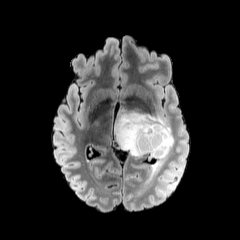
FLAIR MR image.
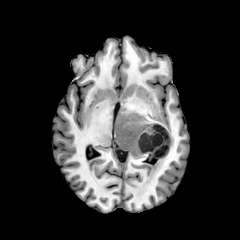
Same slice, T1-weighted MRI.
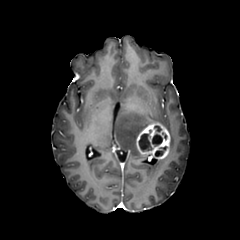
Same slice, post-contrast T1-weighted MR.
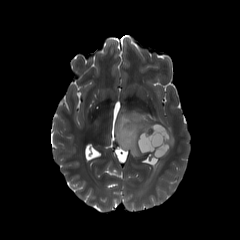
T2-weighted MR of the same slice.
Axial plane.
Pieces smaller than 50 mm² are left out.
Annotated regions:
• peritumoral edema: bbox=[115, 111, 174, 156]; bbox=[148, 154, 168, 181]
• necrotic tumor core: bbox=[152, 133, 162, 146]; bbox=[155, 146, 166, 156]; bbox=[139, 129, 152, 151]
• enhancing tumor: bbox=[136, 123, 170, 159]